Head.
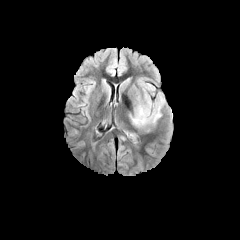
FLAIR MR image.
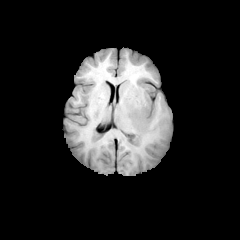
T1-weighted magnetic resonance.
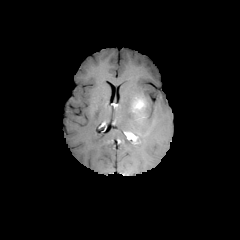
Post-contrast T1-weighted MR image of the same slice.
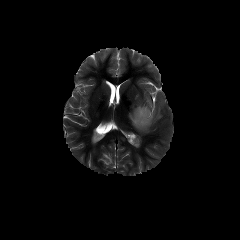
T2-weighted MR image.
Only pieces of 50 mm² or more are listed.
The largest peritumoral edema region lies within [x1=130, y1=94, x2=163, y2=130]. The enhancing tumor appears at [x1=133, y1=98, x2=147, y2=123].